FLAIR MR image.
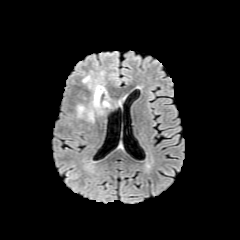
T1-weighted MRI.
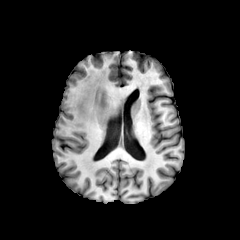
Post-contrast T1-weighted magnetic resonance.
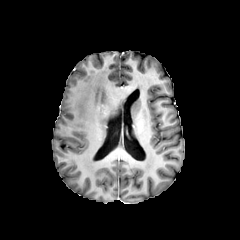
T2-weighted magnetic resonance.
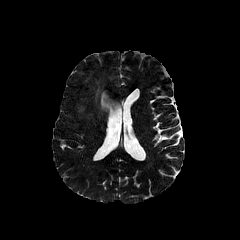
Brain
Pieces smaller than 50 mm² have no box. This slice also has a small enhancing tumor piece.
peritumoral_edema:
  - l=78, t=105, r=85, b=116
  - l=93, t=79, r=108, b=115
  - l=87, t=111, r=94, b=121
  - l=83, t=75, r=91, b=86